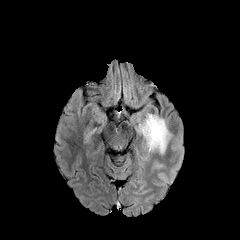
FLAIR magnetic resonance.
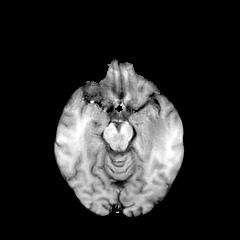
T1-weighted MRI.
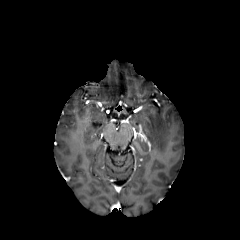
Post-contrast T1-weighted MRI.
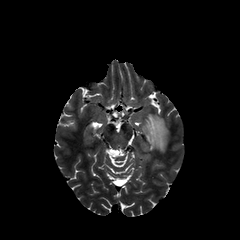
Same slice, T2-weighted MRI.
Head; 240x240
peritumoral edema: bbox(142, 114, 169, 153)